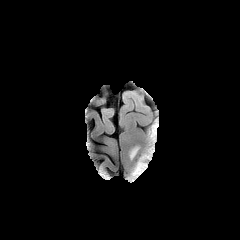
FLAIR MRI.
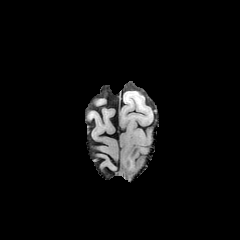
Same slice, T1-weighted MRI.
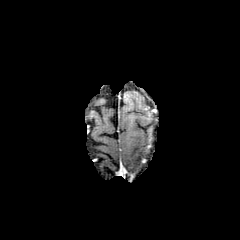
Same slice, post-contrast T1-weighted MR.
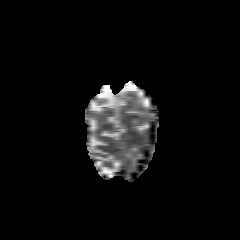
Same slice, T2-weighted MR.
Head.
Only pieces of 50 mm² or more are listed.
peritumoral edema: [129, 147, 138, 159], [133, 162, 144, 174]